240x240 px.
FLAIR MRI.
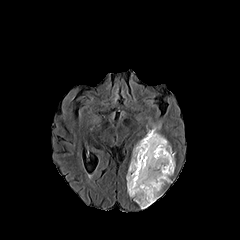
T1-weighted magnetic resonance.
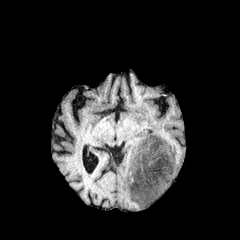
Post-contrast T1-weighted MR.
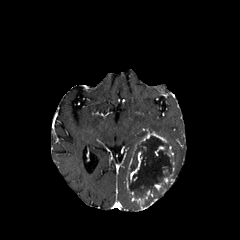
T2-weighted MR image.
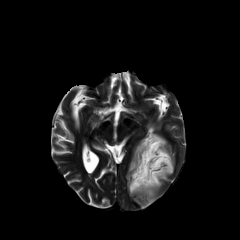
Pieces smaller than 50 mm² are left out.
necrotic tumor core at [128, 136, 173, 206]
peritumoral edema at [149, 123, 163, 136]
enhancing tumor at [154, 159, 174, 191], [167, 146, 173, 158], [126, 175, 157, 209], [140, 131, 167, 142], [130, 151, 142, 182]